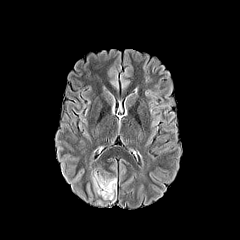
FLAIR MR image.
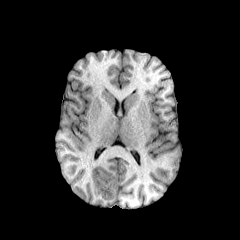
T1-weighted MR.
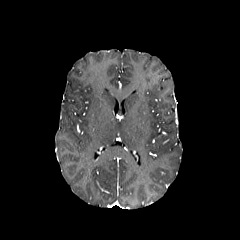
Post-contrast T1-weighted MR image of the same slice.
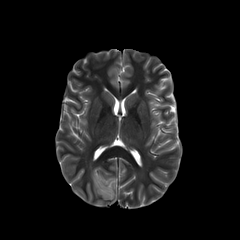
Same slice, T2-weighted MR image.
Axial plane. Head. 240x240.
Findings:
* peritumoral edema: l=91, t=172, r=116, b=202